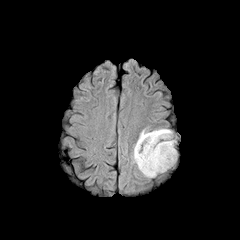
FLAIR MR.
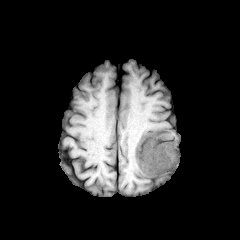
T1-weighted MRI.
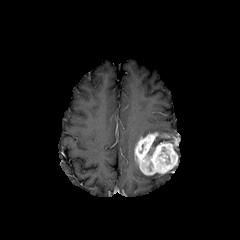
Post-contrast T1-weighted magnetic resonance.
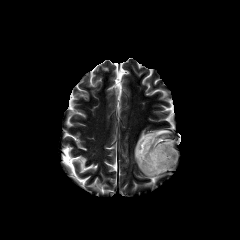
T2-weighted MR image.
Head | Image size 240x240
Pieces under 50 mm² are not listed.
The 2 largest peritumoral edema regions are bounded by (x1=140, y1=128, x2=171, y2=136), (x1=152, y1=137, x2=172, y2=147). The enhancing tumor appears at (x1=134, y1=131, x2=178, y2=175).